Brain | Axial plane
FLAIR MR image.
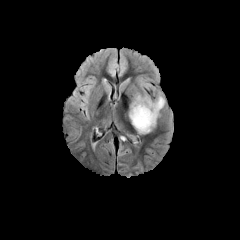
T1-weighted magnetic resonance.
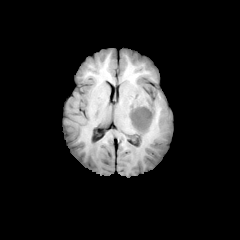
Post-contrast T1-weighted MR.
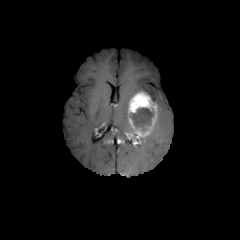
T2-weighted MR image.
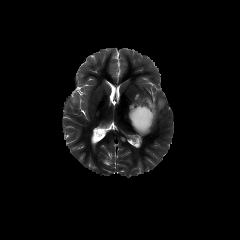
peritumoral edema — (left=153, top=97, right=164, bottom=117)
enhancing tumor — (left=128, top=92, right=157, bottom=136)
necrotic tumor core — (left=132, top=108, right=153, bottom=125)